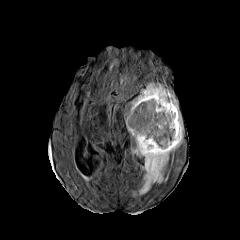
FLAIR magnetic resonance.
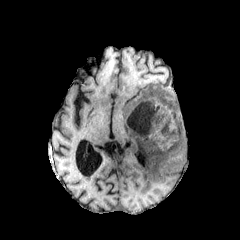
T1-weighted MRI.
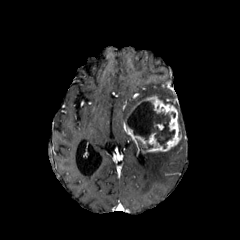
Post-contrast T1-weighted magnetic resonance of the same slice.
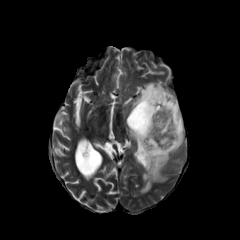
T2-weighted MRI.
Image size 240x240; Head
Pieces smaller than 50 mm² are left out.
{
  "enhancing_tumor": [
    "<bbox>125, 95, 181, 153</bbox>"
  ],
  "necrotic_tumor_core": [
    "<bbox>126, 101, 175, 148</bbox>"
  ],
  "peritumoral_edema": [
    "<bbox>131, 82, 183, 194</bbox>"
  ]
}